FLAIR MR image.
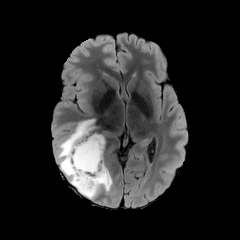
T1-weighted magnetic resonance.
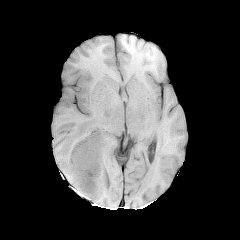
Post-contrast T1-weighted MR image.
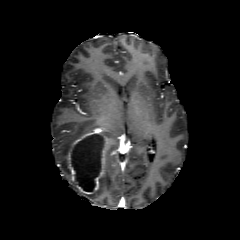
T2-weighted MR.
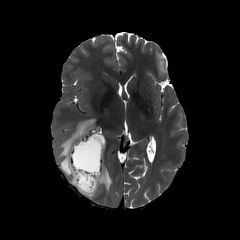
Axial slice. Image size 240x240.
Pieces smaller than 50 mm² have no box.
The enhancing tumor lies within (67,133,107,194). The 2 largest peritumoral edema regions are located at (82,167,112,198), (56,119,94,185). The necrotic tumor core is bounded by (71,134,105,191).